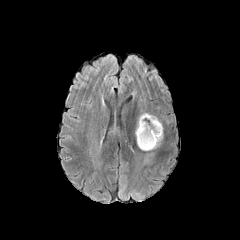
FLAIR magnetic resonance.
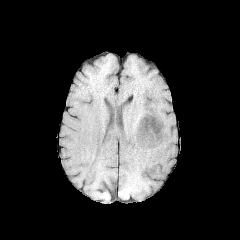
T1-weighted MR image.
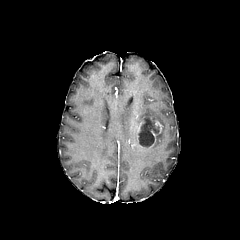
Post-contrast T1-weighted MR.
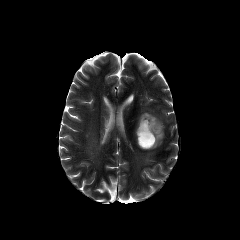
Same slice, T2-weighted MRI.
240x240 px, Axial view
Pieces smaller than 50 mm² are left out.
peritumoral edema = left=140, top=127, right=163, bottom=150; left=137, top=113, right=158, bottom=126
necrotic tumor core = left=138, top=119, right=159, bottom=147
enhancing tumor = left=136, top=118, right=162, bottom=148